FLAIR MRI.
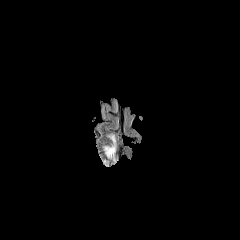
T1-weighted MR image.
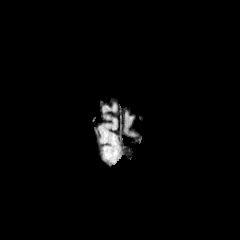
Post-contrast T1-weighted MR image.
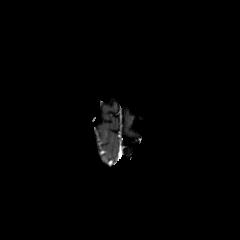
T2-weighted MR.
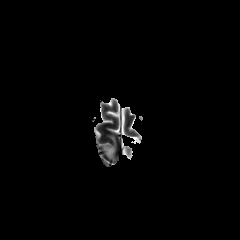
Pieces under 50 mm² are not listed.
Findings:
- peritumoral edema: (left=105, top=147, right=114, bottom=156)